FLAIR MR image.
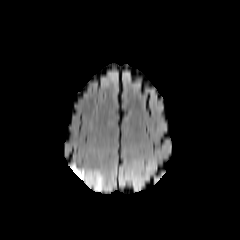
T1-weighted MR.
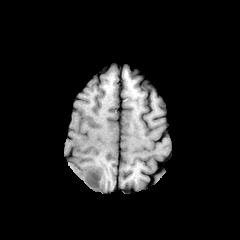
Post-contrast T1-weighted magnetic resonance.
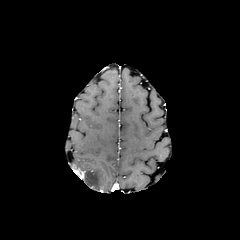
T2-weighted MR image.
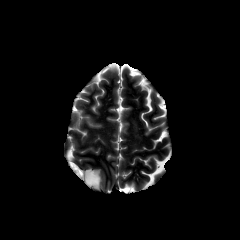
Head
enhancing tumor: [71, 164, 84, 179] | peritumoral edema: [82, 170, 103, 190]